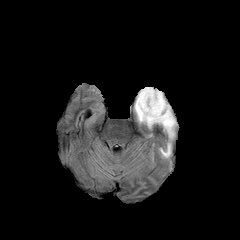
FLAIR MR image.
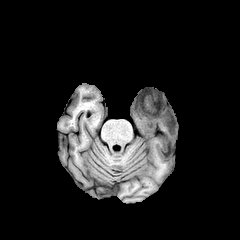
Same slice, T1-weighted MRI.
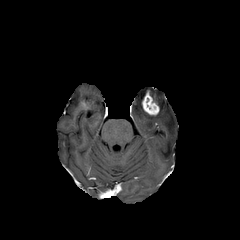
Post-contrast T1-weighted MR image.
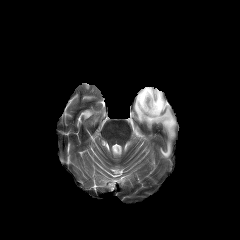
T2-weighted MR.
Axial view, 240x240
{"enhancing_tumor": ["x1=142 y1=92 x2=159 y2=114"], "peritumoral_edema": ["x1=160 y1=142 x2=170 y2=157", "x1=134 y1=87 x2=175 y2=138"]}